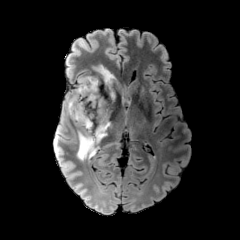
FLAIR MR image.
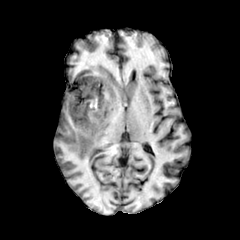
T1-weighted MR image.
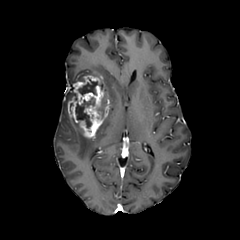
Same slice, post-contrast T1-weighted MR image.
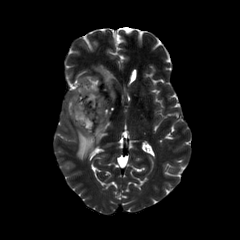
T2-weighted MRI.
Axial slice, Head
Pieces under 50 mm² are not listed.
• enhancing tumor: x1=67 y1=75 x2=111 y2=138
• necrotic tumor core: x1=78 y1=79 x2=97 y2=94, x1=75 y1=97 x2=95 y2=128
• peritumoral edema: x1=93 y1=65 x2=116 y2=103, x1=65 y1=89 x2=74 y2=107, x1=74 y1=117 x2=110 y2=159